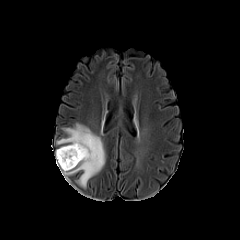
FLAIR MRI.
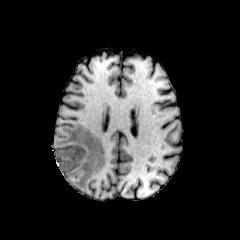
Same slice, T1-weighted MR.
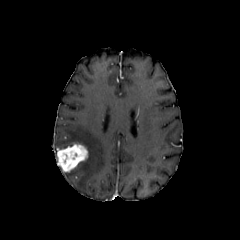
Post-contrast T1-weighted magnetic resonance.
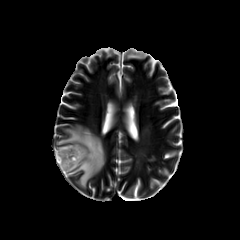
T2-weighted MR image of the same slice.
Axial slice; Brain
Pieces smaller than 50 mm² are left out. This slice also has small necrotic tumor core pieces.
peritumoral_edema:
  - {"x1": 56, "y1": 123, "x2": 105, "y2": 188}
enhancing_tumor:
  - {"x1": 56, "y1": 143, "x2": 88, "y2": 172}